Image width 240 mm
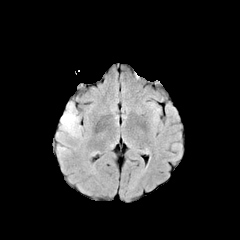
FLAIR magnetic resonance.
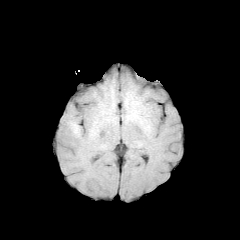
T1-weighted MRI.
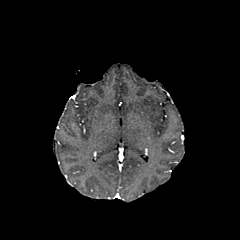
Post-contrast T1-weighted MR image of the same slice.
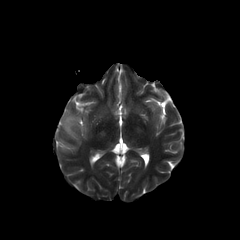
T2-weighted MRI of the same slice.
{
  "peritumoral_edema": [
    "rect(56, 101, 82, 154)"
  ]
}